FLAIR magnetic resonance.
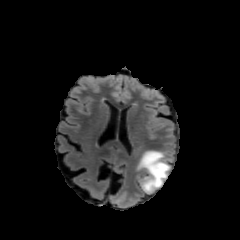
T1-weighted MRI.
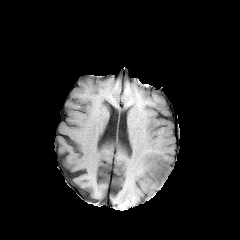
Post-contrast T1-weighted MR.
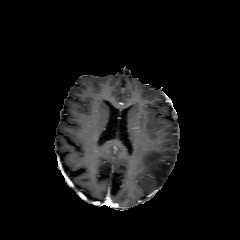
T2-weighted magnetic resonance.
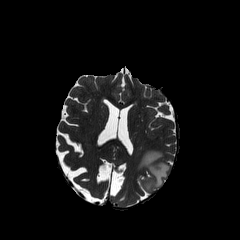
Axial plane
Annotated regions:
• peritumoral edema: box=[136, 150, 170, 192]